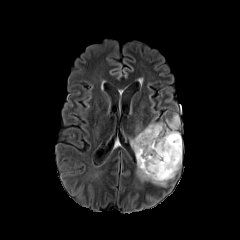
FLAIR MR image.
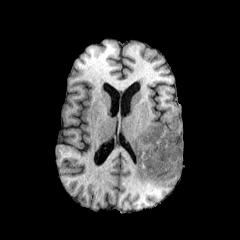
T1-weighted MRI.
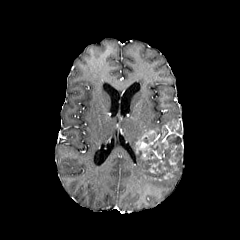
Post-contrast T1-weighted magnetic resonance.
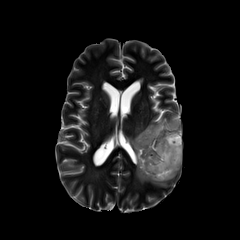
T2-weighted magnetic resonance of the same slice.
240x240 px; Brain
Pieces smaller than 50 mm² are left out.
necrotic tumor core: bounding box left=156, top=129, right=162, bottom=141; left=137, top=134, right=180, bottom=179
enhancing tumor: bounding box left=135, top=126, right=179, bottom=163; left=149, top=163, right=158, bottom=173
peritumoral edema: bounding box left=136, top=153, right=180, bottom=186; left=130, top=122, right=164, bottom=151; left=166, top=114, right=179, bottom=128